Image width 240 mm. Axial slice.
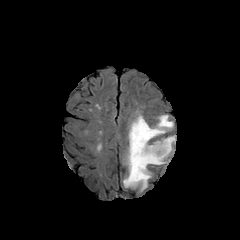
FLAIR MR image.
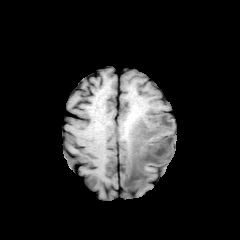
T1-weighted magnetic resonance of the same slice.
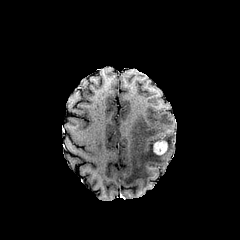
Post-contrast T1-weighted MRI.
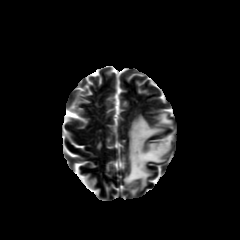
T2-weighted MR image.
peritumoral edema at <box>123,114,175,190</box>
enhancing tumor at <box>153,140,168,155</box>